Brain
FLAIR magnetic resonance.
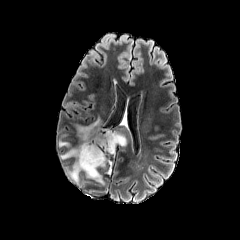
T1-weighted MRI.
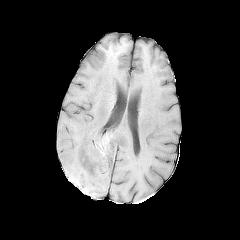
Post-contrast T1-weighted MR.
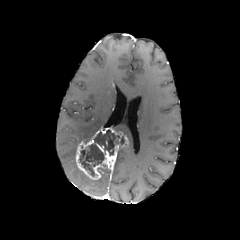
T2-weighted MRI.
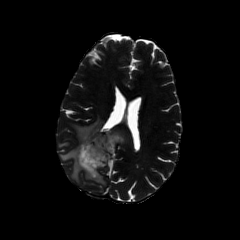
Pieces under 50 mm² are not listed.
The largest necrotic tumor core region lies within (79,130,119,176). The 4 largest peritumoral edema regions appear at (60,145,77,159), (69,161,81,181), (76,117,102,142), (59,141,69,146). The largest enhancing tumor region lies within (75,129,127,180).